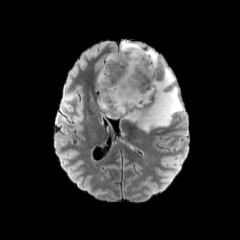
FLAIR magnetic resonance.
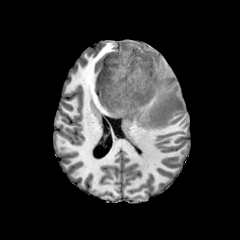
T1-weighted MRI.
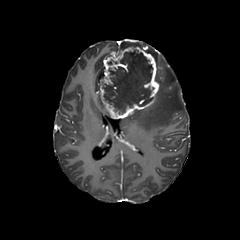
Post-contrast T1-weighted MR.
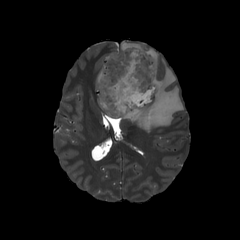
T2-weighted MR image.
240x240 px; Brain
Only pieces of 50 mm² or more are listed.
necrotic tumor core: bounding box box(103, 50, 152, 113)
peritumoral edema: bounding box box(145, 48, 158, 64); box(124, 59, 183, 132); box(120, 41, 142, 50); box(97, 66, 103, 83)
enhancing tumor: bounding box box(98, 47, 159, 118)